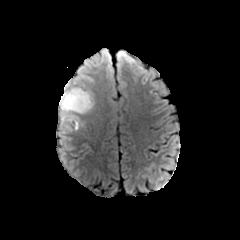
FLAIR MR.
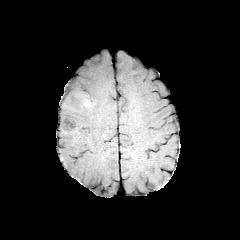
T1-weighted MR.
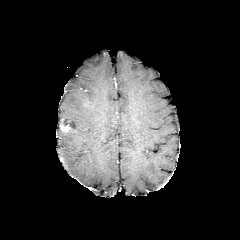
Post-contrast T1-weighted MR.
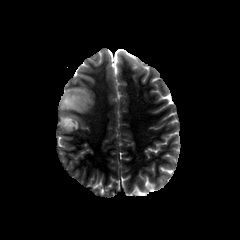
T2-weighted MR image of the same slice.
Brain
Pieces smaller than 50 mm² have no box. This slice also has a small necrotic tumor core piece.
peritumoral_edema:
  - region(57, 82, 94, 136)
enhancing_tumor:
  - region(59, 117, 76, 132)